FLAIR MR image.
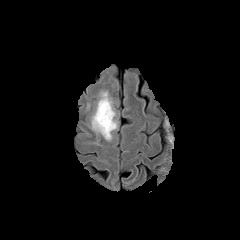
T1-weighted magnetic resonance.
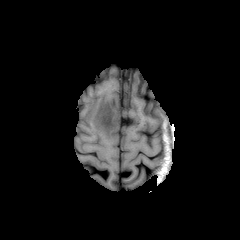
Post-contrast T1-weighted MR image.
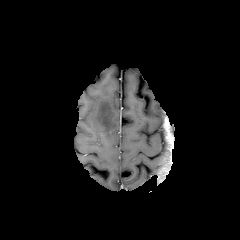
T2-weighted MR.
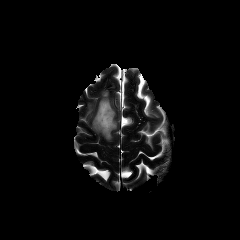
Axial plane; Head
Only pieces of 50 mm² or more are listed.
The largest peritumoral edema region lies within l=91, t=90, r=118, b=141.